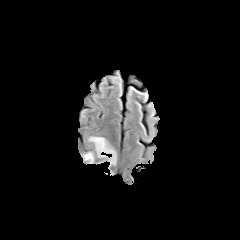
FLAIR magnetic resonance.
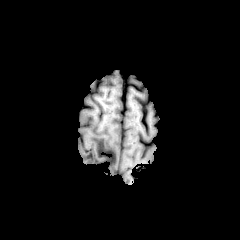
Same slice, T1-weighted MR.
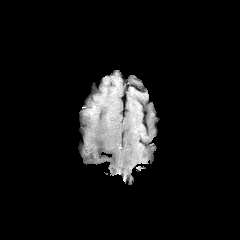
Same slice, post-contrast T1-weighted MR.
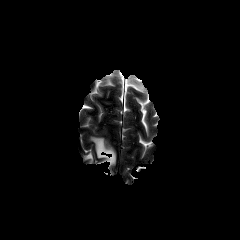
T2-weighted magnetic resonance of the same slice.
Head; 240x240; Axial plane
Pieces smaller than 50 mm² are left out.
peritumoral_edema:
  - <bbox>91, 137, 114, 163</bbox>